Image covers 240 mm x 240 mm.
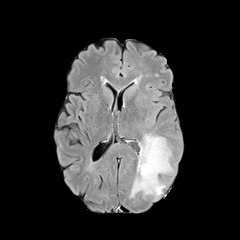
FLAIR MR.
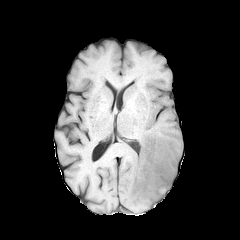
T1-weighted MR image of the same slice.
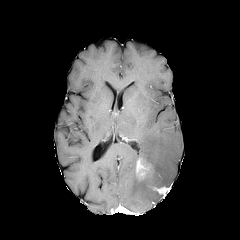
Post-contrast T1-weighted magnetic resonance.
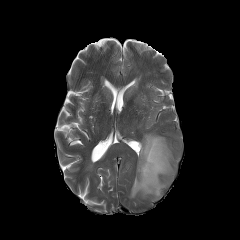
Same slice, T2-weighted MR image.
{
  "peritumoral_edema": [
    "(left=130, top=133, right=173, bottom=199)"
  ],
  "enhancing_tumor": [
    "(left=136, top=158, right=153, bottom=179)",
    "(left=153, top=187, right=168, bottom=193)"
  ]
}